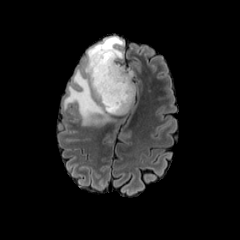
FLAIR magnetic resonance.
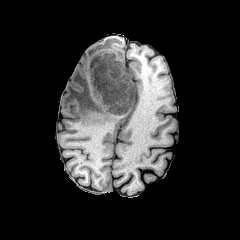
T1-weighted MR.
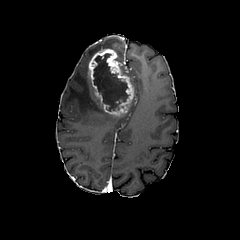
Same slice, post-contrast T1-weighted MRI.
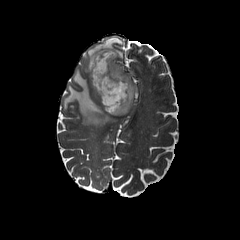
Same slice, T2-weighted MR.
Head
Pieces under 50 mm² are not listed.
Segmented structures:
• necrotic tumor core: (93, 53, 128, 111)
• enhancing tumor: (88, 49, 134, 115)
• peritumoral edema: (63, 36, 124, 126), (121, 65, 135, 94)